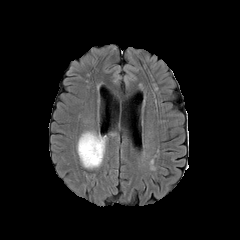
FLAIR MR.
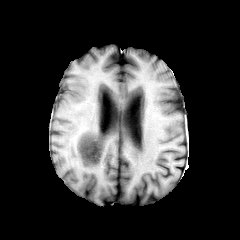
T1-weighted MRI of the same slice.
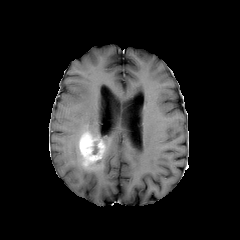
Same slice, post-contrast T1-weighted MRI.
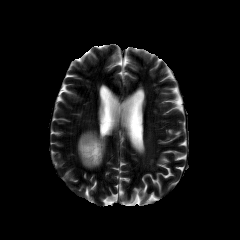
T2-weighted MR.
Brain; 240x240 px; Axial plane
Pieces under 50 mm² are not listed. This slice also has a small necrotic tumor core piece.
enhancing_tumor:
  - [78, 132, 105, 167]
peritumoral_edema:
  - [81, 130, 106, 145]
  - [86, 150, 105, 169]